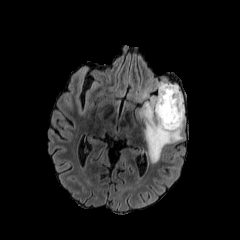
FLAIR MR image.
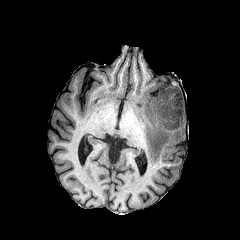
T1-weighted magnetic resonance.
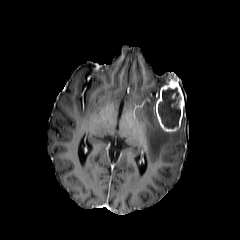
Post-contrast T1-weighted MR.
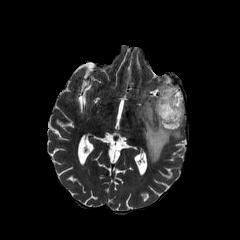
T2-weighted MR of the same slice.
Brain.
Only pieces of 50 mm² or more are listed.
enhancing tumor: bounding box <bbox>155, 81, 184, 132</bbox>
necrotic tumor core: bounding box <bbox>158, 87, 180, 128</bbox>
peritumoral edema: bounding box <bbox>139, 93, 185, 163</bbox>